Image width 240 mm, 1.00 mm slice spacing. Head.
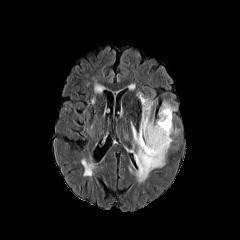
FLAIR MRI.
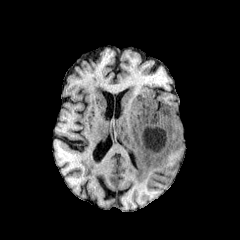
T1-weighted MR image.
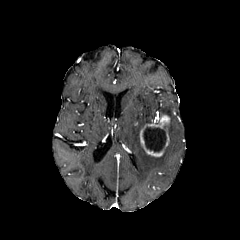
Post-contrast T1-weighted MRI.
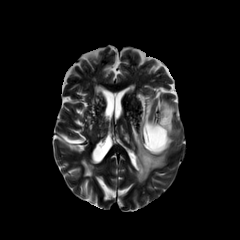
T2-weighted MR.
The peritumoral edema appears at 129,93,177,182. The necrotic tumor core lies within 143,127,166,151. The enhancing tumor is located at 139,114,170,157.